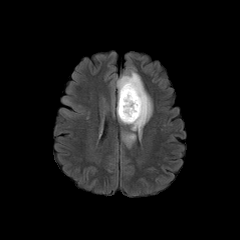
FLAIR magnetic resonance.
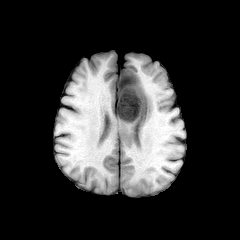
Same slice, T1-weighted magnetic resonance.
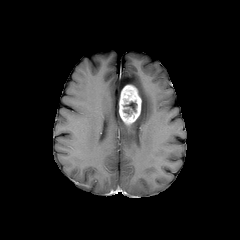
Post-contrast T1-weighted magnetic resonance of the same slice.
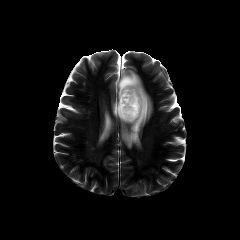
T2-weighted magnetic resonance.
Axial slice
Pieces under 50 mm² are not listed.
enhancing tumor at (119,84,141,124)
necrotic tumor core at (124,102,136,111)
peritumoral edema at (116,69,152,147)